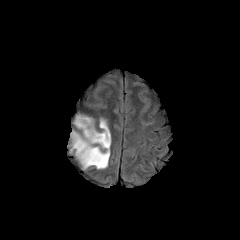
FLAIR MRI.
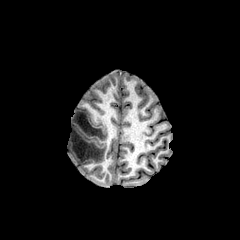
T1-weighted magnetic resonance.
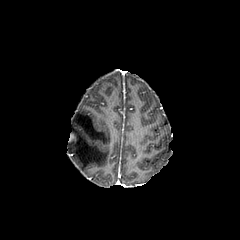
Post-contrast T1-weighted MRI.
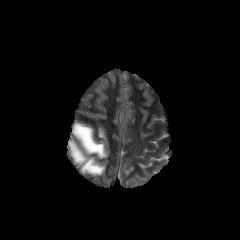
Same slice, T2-weighted MR image.
Head; 240x240 px
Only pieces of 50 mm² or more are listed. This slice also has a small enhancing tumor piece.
peritumoral edema: bounding box bbox=[69, 115, 110, 170]